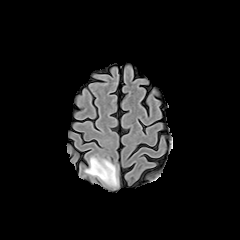
FLAIR MRI.
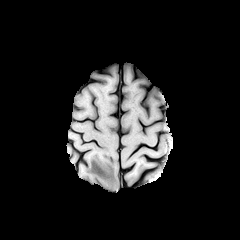
T1-weighted magnetic resonance.
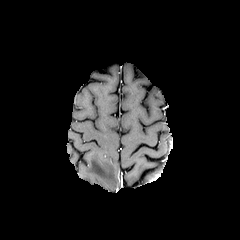
Post-contrast T1-weighted magnetic resonance of the same slice.
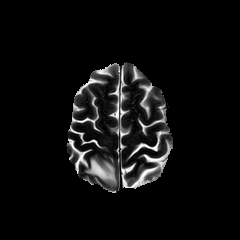
T2-weighted MRI.
Head
Segmented structures:
* peritumoral edema: (85,157,116,188)